FLAIR magnetic resonance.
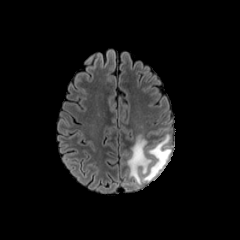
T1-weighted MR.
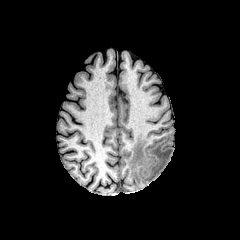
Post-contrast T1-weighted MR.
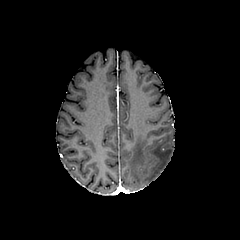
T2-weighted MR image.
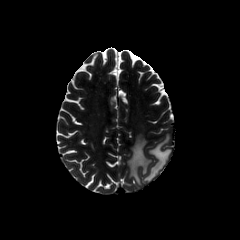
Head | Axial view
The peritumoral edema appears at rect(127, 134, 171, 185).